FLAIR MRI.
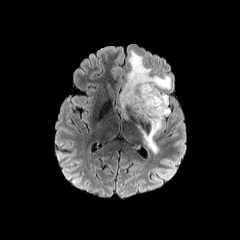
T1-weighted MR.
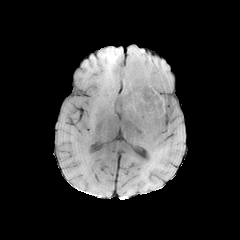
Post-contrast T1-weighted MRI.
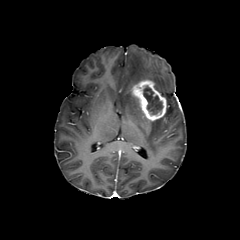
T2-weighted magnetic resonance.
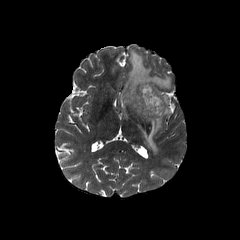
Head; Image size 240x240
peritumoral_edema:
  - 117 50 170 152
necrotic_tumor_core:
  - 143 85 162 114
enhancing_tumor:
  - 131 79 166 121